Slice 80 of 155, 240x240
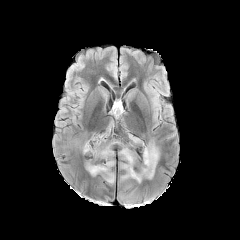
FLAIR MRI.
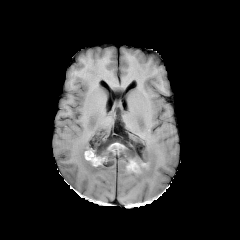
T1-weighted MR.
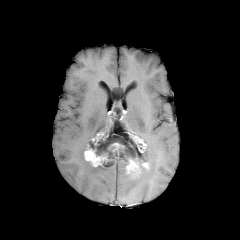
Post-contrast T1-weighted MR image.
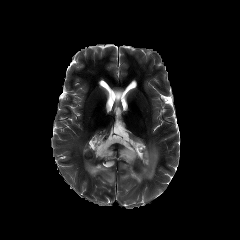
Same slice, T2-weighted magnetic resonance.
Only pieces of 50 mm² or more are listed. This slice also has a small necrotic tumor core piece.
{"enhancing_tumor": ["x1=84 y1=145 x2=107 y2=166", "x1=126 y1=159 x2=139 y2=177"], "peritumoral_edema": ["x1=119 y1=143 x2=159 y2=183", "x1=85 y1=140 x2=120 y2=184"]}